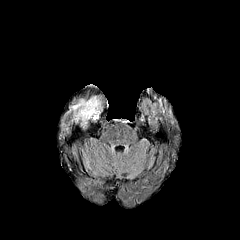
FLAIR magnetic resonance.
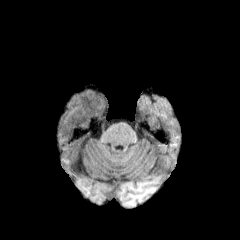
Same slice, T1-weighted MRI.
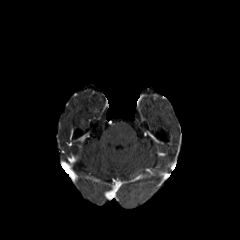
Same slice, post-contrast T1-weighted MR.
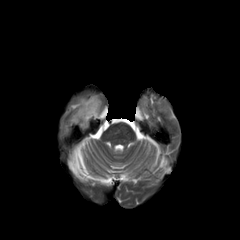
T2-weighted MR image.
240x240 px.
The peritumoral edema lies within [71, 96, 102, 123].